FLAIR MR.
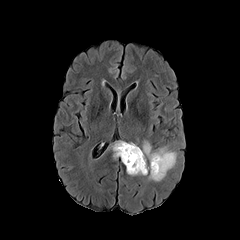
T1-weighted MR image.
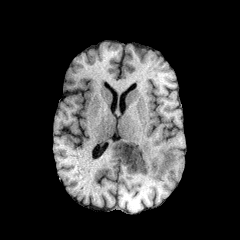
Post-contrast T1-weighted MR.
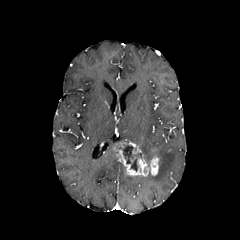
T2-weighted MR image.
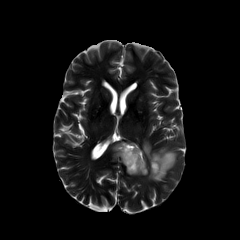
Head. Axial plane. Image size 240x240.
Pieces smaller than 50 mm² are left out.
The largest necrotic tumor core region is at x1=123, y1=145, x2=141, y2=171. The enhancing tumor is at x1=113, y1=141, x2=159, y2=176. The largest peritumoral edema region is bounded by x1=142, y1=141, x2=176, y2=181.